FLAIR magnetic resonance.
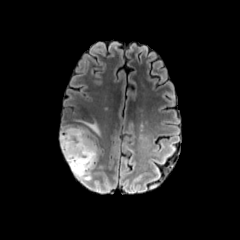
T1-weighted MR image.
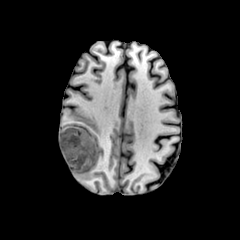
Post-contrast T1-weighted magnetic resonance.
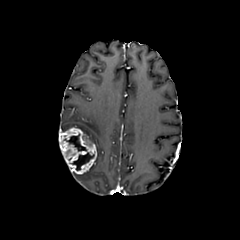
T2-weighted magnetic resonance.
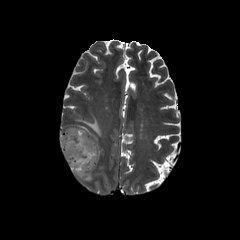
Axial view
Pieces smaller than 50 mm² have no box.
Segmented structures:
- enhancing tumor: box(59, 127, 97, 174)
- necrotic tumor core: box(71, 152, 94, 170); box(64, 134, 86, 151)
- peritumoral edema: box(73, 164, 94, 180); box(61, 118, 101, 163)